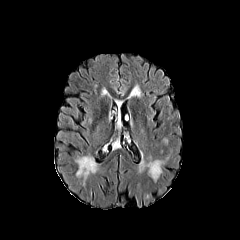
FLAIR magnetic resonance.
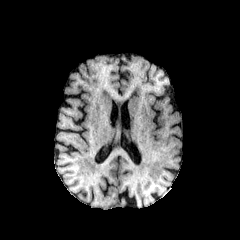
T1-weighted magnetic resonance of the same slice.
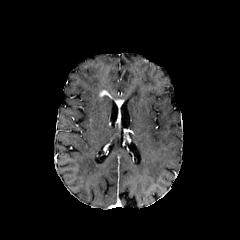
Post-contrast T1-weighted MR.
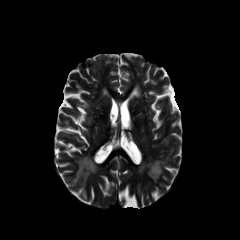
T2-weighted MRI.
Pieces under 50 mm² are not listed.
The largest peritumoral edema region appears at <bbox>128, 85, 141, 97</bbox>. The largest enhancing tumor region is bounded by <bbox>100, 90, 111, 97</bbox>.